FLAIR MR image.
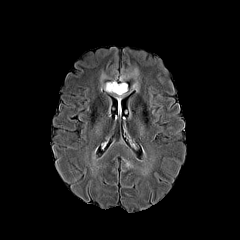
T1-weighted MR image.
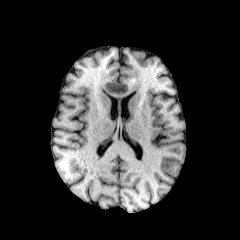
Post-contrast T1-weighted MRI.
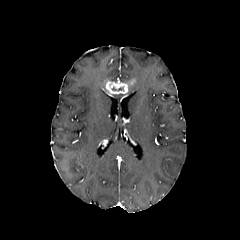
T2-weighted MRI.
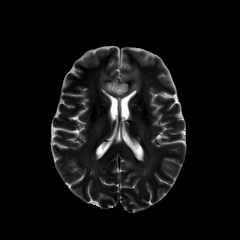
Head; 240x240
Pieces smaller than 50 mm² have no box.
The necrotic tumor core is bounded by (x1=108, y1=83, x2=124, y2=91). The largest enhancing tumor region is located at (x1=105, y1=81, x2=127, y2=94). The 2 largest peritumoral edema regions are located at (x1=120, y1=68, x2=139, y2=91), (x1=100, y1=72, x2=109, y2=90).